FLAIR magnetic resonance.
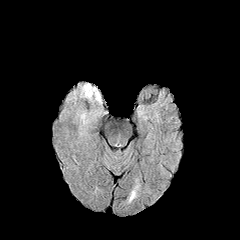
T1-weighted magnetic resonance.
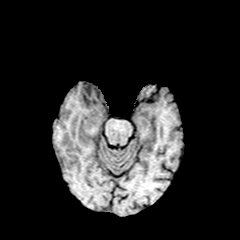
Post-contrast T1-weighted MR.
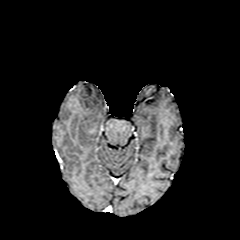
T2-weighted magnetic resonance.
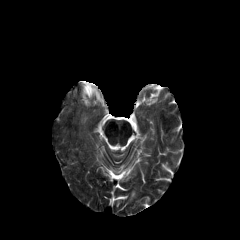
Brain | 240x240 | Axial plane
Annotated regions:
• peritumoral edema: bbox(83, 84, 100, 101)